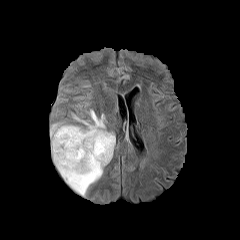
FLAIR MRI.
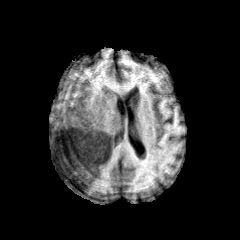
T1-weighted MR image.
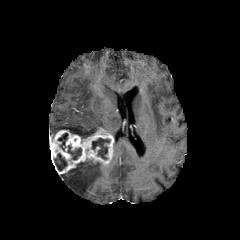
Post-contrast T1-weighted MR image.
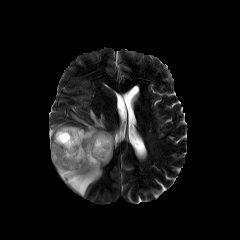
Same slice, T2-weighted MRI.
Axial plane. Head.
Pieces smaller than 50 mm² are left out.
The largest enhancing tumor region appears at 50:128:114:174. 4 necrotic tumor core regions are located at 92:138:109:159, 54:153:67:170, 67:145:81:159, 58:133:68:150. The 2 largest peritumoral edema regions appear at 61:161:104:196, 50:109:106:138.